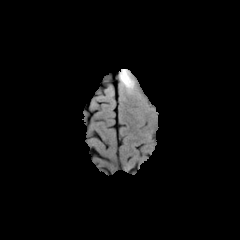
FLAIR MR.
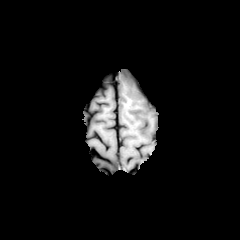
T1-weighted magnetic resonance.
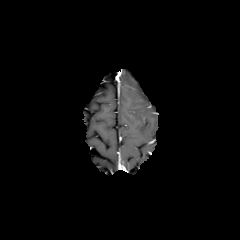
Post-contrast T1-weighted MR.
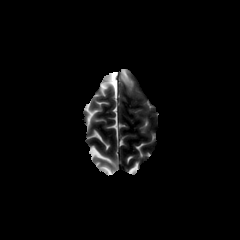
T2-weighted MRI.
Brain.
The peritumoral edema lies within (x1=120, y1=69, x2=134, y2=91).